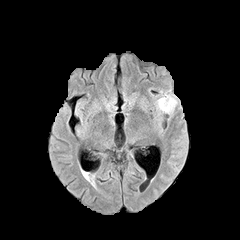
FLAIR MR.
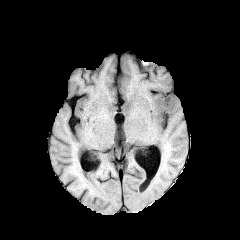
T1-weighted MR image.
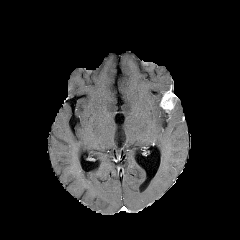
Post-contrast T1-weighted MRI.
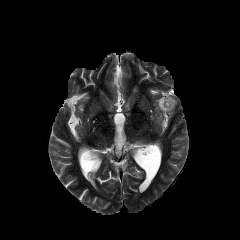
Same slice, T2-weighted MR image.
240x240 px
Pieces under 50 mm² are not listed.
peritumoral edema: (157,97,165,112)
enhancing tumor: (160,88,178,113)